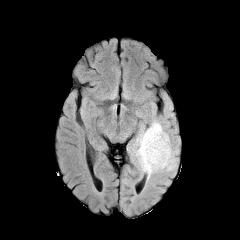
FLAIR MRI.
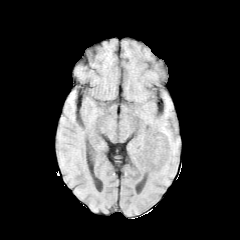
Same slice, T1-weighted MR image.
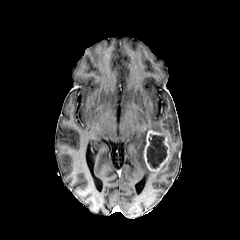
Post-contrast T1-weighted MR image.
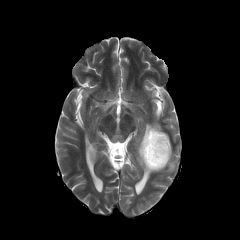
T2-weighted magnetic resonance of the same slice.
Axial plane. Head. 240x240 px.
<segmentation>
  <necrotic_tumor_core>[147, 134, 167, 168]</necrotic_tumor_core>
  <enhancing_tumor>[143, 130, 170, 171]</enhancing_tumor>
  <peritumoral_edema>[136, 121, 177, 173]</peritumoral_edema>
</segmentation>